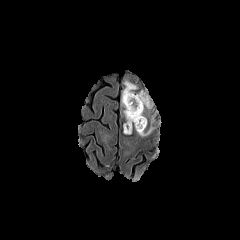
FLAIR MRI.
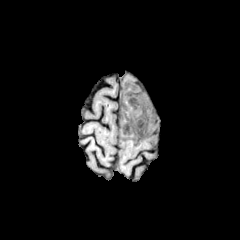
Same slice, T1-weighted MR.
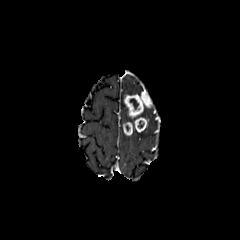
Post-contrast T1-weighted MR image.
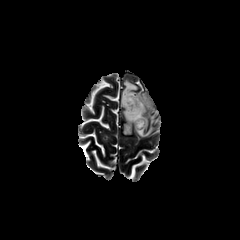
T2-weighted magnetic resonance.
Axial view. 240x240 px.
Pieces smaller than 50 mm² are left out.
enhancing tumor: bbox=[134, 117, 147, 132]; bbox=[123, 122, 132, 135]; bbox=[124, 91, 152, 118] | necrotic tumor core: bbox=[130, 99, 138, 109] | peritumoral edema: bbox=[121, 80, 151, 130]; bbox=[137, 116, 154, 136]